FLAIR MR.
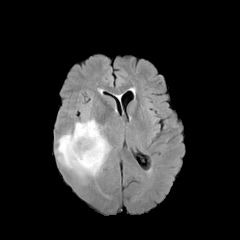
T1-weighted MR image.
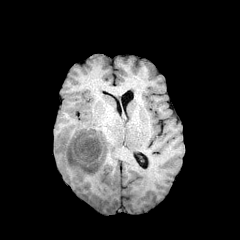
Post-contrast T1-weighted MRI.
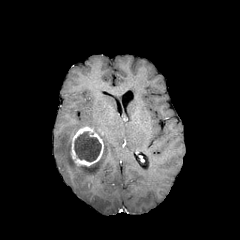
T2-weighted MR image.
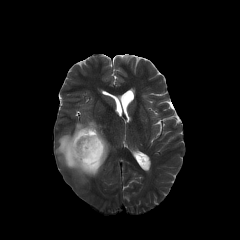
240x240
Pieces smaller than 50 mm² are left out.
necrotic tumor core at (74,132,101,161)
enhancing tumor at (71,126,103,166)
peritumoral edema at (56,118,110,181)